FLAIR MR image.
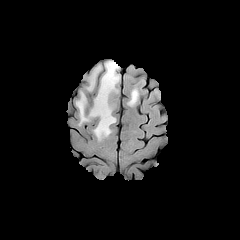
T1-weighted MRI.
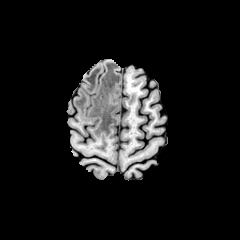
Post-contrast T1-weighted MR.
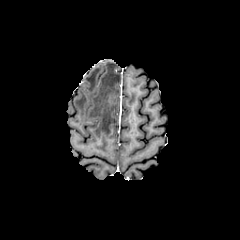
T2-weighted MRI.
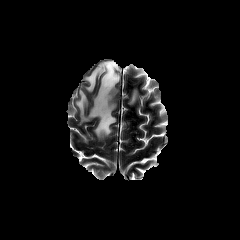
Axial slice
peritumoral edema = (76, 61, 120, 139), (128, 89, 138, 105), (86, 65, 102, 91)